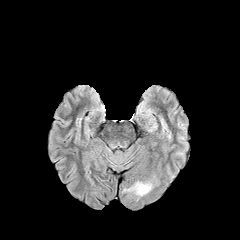
FLAIR magnetic resonance.
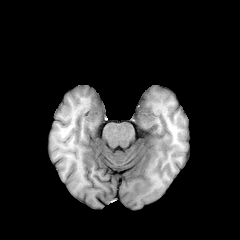
Same slice, T1-weighted MRI.
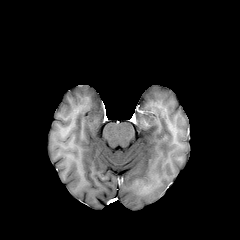
Same slice, post-contrast T1-weighted MRI.
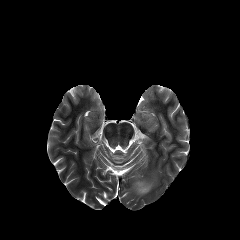
T2-weighted MR image of the same slice.
240x240. Brain.
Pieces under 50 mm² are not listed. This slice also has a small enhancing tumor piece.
{
  "peritumoral_edema": [
    "<box>129,181,152,195</box>"
  ]
}